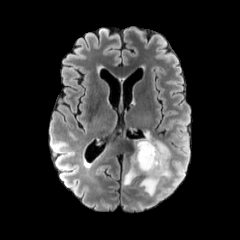
FLAIR magnetic resonance.
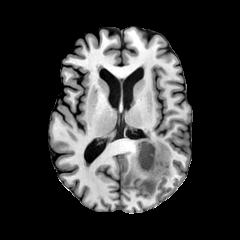
T1-weighted magnetic resonance.
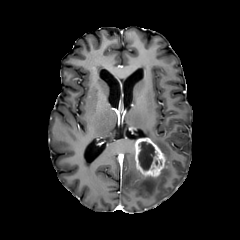
Post-contrast T1-weighted MRI.
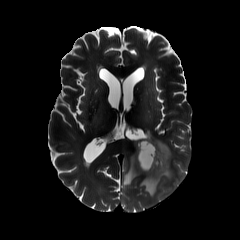
T2-weighted MRI.
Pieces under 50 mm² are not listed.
necrotic tumor core: bounding box (138, 142, 155, 170)
enhancing tumor: bounding box (134, 137, 165, 177)
peritumoral edema: bounding box (139, 131, 170, 196), (124, 155, 139, 185)